240x240; Head
FLAIR MRI.
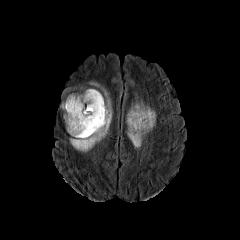
T1-weighted MRI.
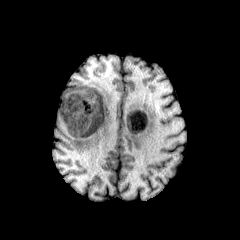
Post-contrast T1-weighted MR.
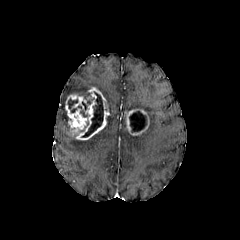
T2-weighted MR image.
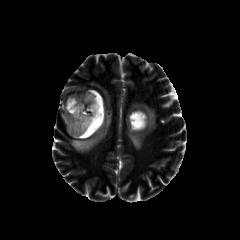
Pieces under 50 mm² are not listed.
enhancing tumor: (x1=126, y1=108, x2=149, y2=135), (x1=65, y1=87, x2=109, y2=140) | peritumoral edema: (x1=61, y1=103, x2=68, y2=131), (x1=70, y1=82, x2=112, y2=152), (x1=127, y1=102, x2=155, y2=149) | necrotic tumor core: (x1=68, y1=99, x2=77, y2=108), (x1=129, y1=111, x2=146, y2=132), (x1=82, y1=92, x2=103, y2=137)